Image covers 240 mm x 240 mm, Axial slice
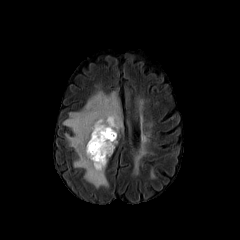
FLAIR MRI.
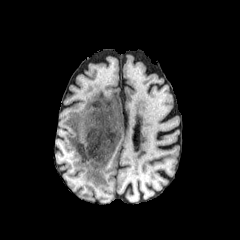
T1-weighted MR of the same slice.
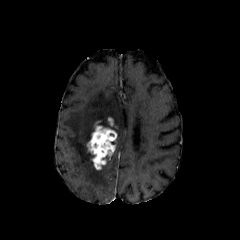
Same slice, post-contrast T1-weighted MRI.
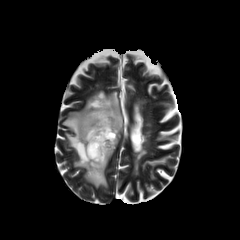
T2-weighted MR.
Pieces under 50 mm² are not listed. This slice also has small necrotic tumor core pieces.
peritumoral_edema:
  - region(63, 90, 123, 187)
enhancing_tumor:
  - region(107, 117, 117, 128)
  - region(86, 120, 117, 169)